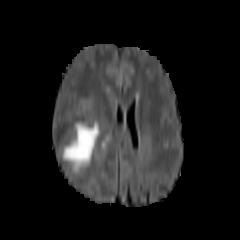
FLAIR MRI.
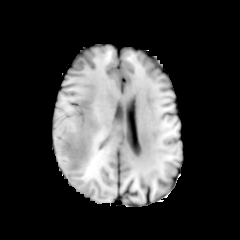
T1-weighted MR image.
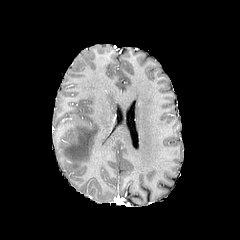
Same slice, post-contrast T1-weighted MR.
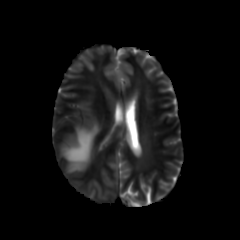
T2-weighted MR.
Head
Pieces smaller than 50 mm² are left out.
The largest peritumoral edema region is bounded by left=63, top=121, right=100, bottom=171.